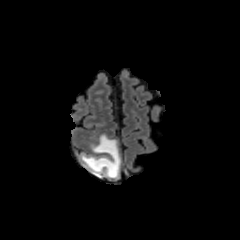
FLAIR MRI.
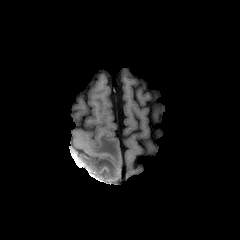
T1-weighted MR.
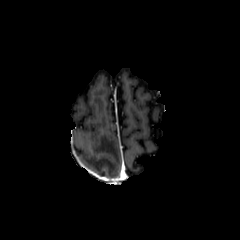
Post-contrast T1-weighted MRI.
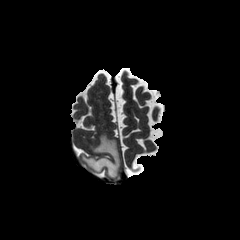
T2-weighted MRI.
Head. Image size 240x240.
peritumoral edema — rect(81, 134, 120, 178)